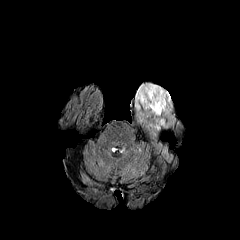
FLAIR MR.
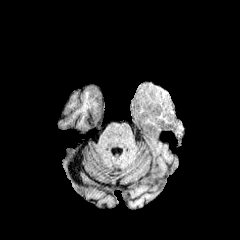
T1-weighted MRI of the same slice.
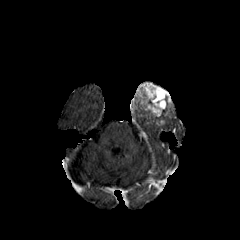
Post-contrast T1-weighted magnetic resonance.
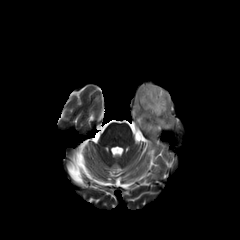
T2-weighted magnetic resonance.
240x240 px. Axial slice.
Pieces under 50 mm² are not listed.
peritumoral edema — {"x1": 137, "y1": 109, "x2": 175, "y2": 135}
enhancing tumor — {"x1": 134, "y1": 82, "x2": 172, "y2": 117}